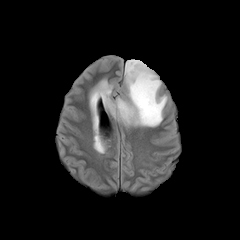
FLAIR MR image.
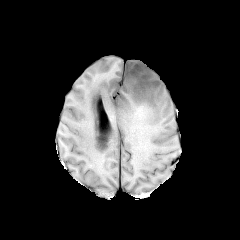
T1-weighted MR image of the same slice.
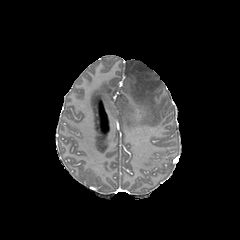
Same slice, post-contrast T1-weighted magnetic resonance.
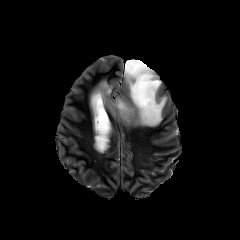
Same slice, T2-weighted MR image.
Axial plane
peritumoral edema = left=90, top=59, right=167, bottom=126